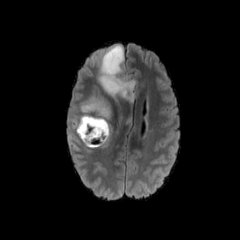
FLAIR MR image.
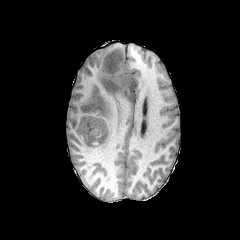
T1-weighted MR image.
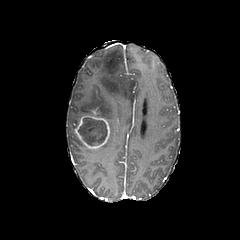
Same slice, post-contrast T1-weighted MR image.
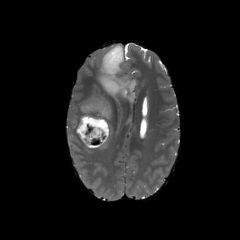
T2-weighted magnetic resonance.
Brain; Axial plane
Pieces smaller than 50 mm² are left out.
<segmentation>
  <peritumoral_edema>67,44,137,153</peritumoral_edema>
  <enhancing_tumor>74,111,109,148</enhancing_tumor>
  <necrotic_tumor_core>78,117,107,145</necrotic_tumor_core>
</segmentation>